FLAIR MR.
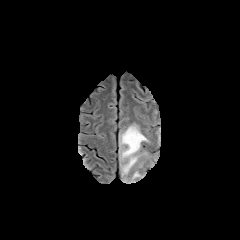
T1-weighted magnetic resonance.
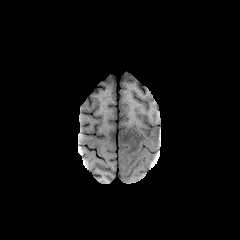
Post-contrast T1-weighted MR.
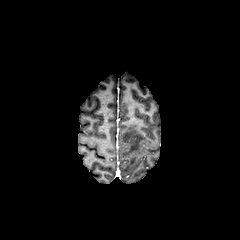
T2-weighted MR.
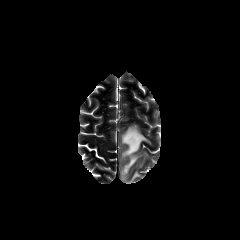
Axial plane
{
  "peritumoral_edema": [
    "120, 125, 148, 176",
    "123, 171, 142, 183"
  ]
}